Head; Axial view
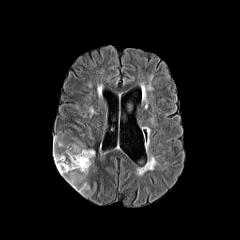
FLAIR MR image.
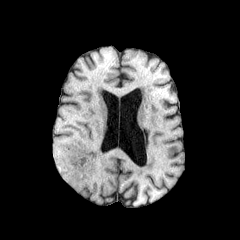
T1-weighted MRI.
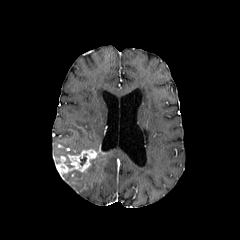
Post-contrast T1-weighted MRI.
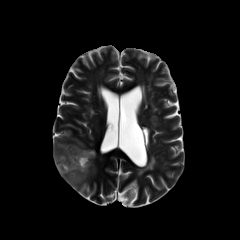
T2-weighted magnetic resonance of the same slice.
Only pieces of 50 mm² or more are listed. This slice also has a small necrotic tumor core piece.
peritumoral edema = region(61, 167, 89, 194); region(53, 137, 85, 158)
enhancing tumor = region(54, 149, 96, 174)